FLAIR MR.
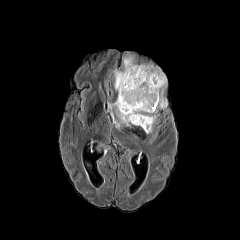
T1-weighted magnetic resonance.
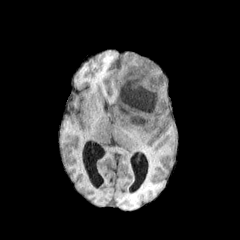
Post-contrast T1-weighted MRI.
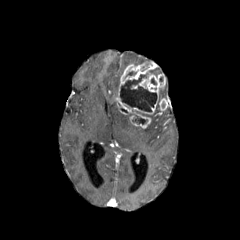
T2-weighted MRI.
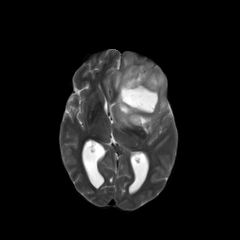
Axial slice | Image size 240x240
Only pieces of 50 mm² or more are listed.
necrotic tumor core — rect(120, 73, 157, 111); rect(132, 115, 147, 124)
peritumoral edema — rect(113, 69, 122, 90); rect(144, 115, 156, 133); rect(123, 56, 133, 68); rect(108, 102, 131, 128)
enhancing tumor — rect(159, 98, 167, 110); rect(116, 62, 166, 128)